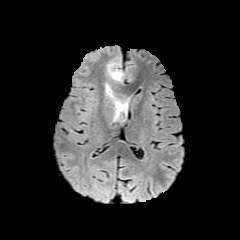
FLAIR MRI.
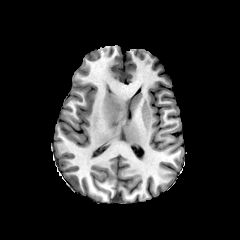
T1-weighted MRI.
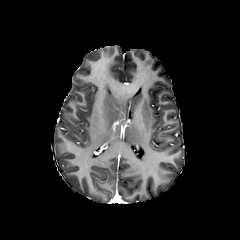
Same slice, post-contrast T1-weighted MR image.
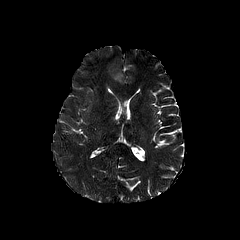
T2-weighted MR image of the same slice.
Axial plane
2 peritumoral edema regions are bounded by box(106, 86, 126, 119); box(108, 64, 123, 81).